FLAIR MR.
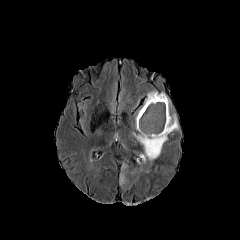
T1-weighted magnetic resonance.
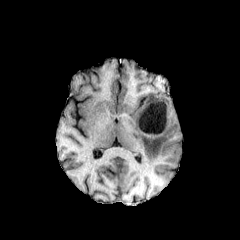
Post-contrast T1-weighted MR.
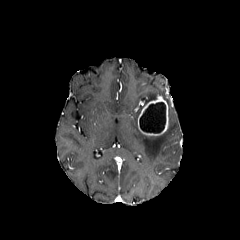
T2-weighted magnetic resonance.
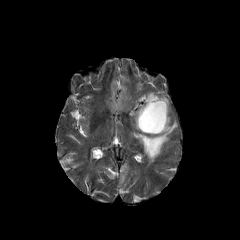
Axial slice
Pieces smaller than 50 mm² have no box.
- enhancing tumor: 137,95,168,136
- necrotic tumor core: 139,102,166,133
- peritumoral edema: 132,113,178,160; 159,92,170,106; 145,91,157,104; 120,172,126,184